Slice 52 of 155, Brain
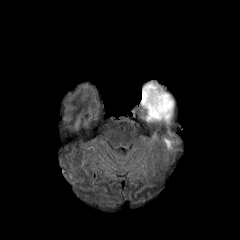
FLAIR MR image.
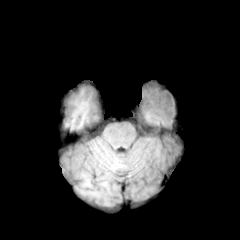
T1-weighted MRI of the same slice.
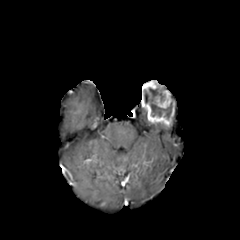
Post-contrast T1-weighted MR of the same slice.
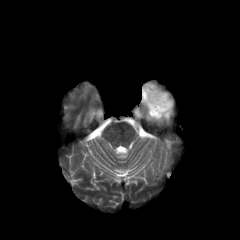
T2-weighted magnetic resonance.
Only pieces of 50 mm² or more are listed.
enhancing tumor: [141, 80, 174, 126] | peritumoral edema: [164, 139, 172, 149] | necrotic tumor core: [144, 88, 171, 118]